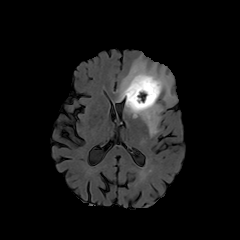
FLAIR MRI.
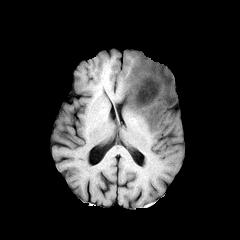
T1-weighted MRI.
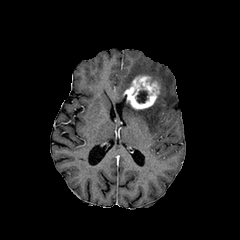
Post-contrast T1-weighted MR image.
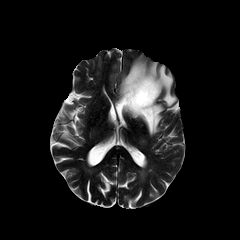
T2-weighted magnetic resonance.
Image size 240x240; Head
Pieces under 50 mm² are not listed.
peritumoral edema: x1=117, y1=56, x2=176, y2=106; x1=124, y1=100, x2=163, y2=136 | enhancing tumor: x1=123, y1=75, x2=160, y2=109 | necrotic tumor core: x1=137, y1=90, x2=147, y2=102